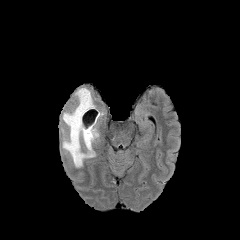
FLAIR MRI.
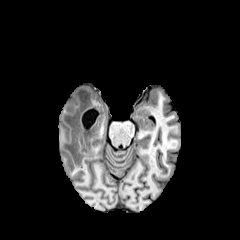
T1-weighted MRI.
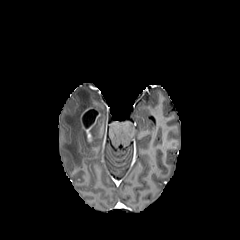
Same slice, post-contrast T1-weighted MRI.
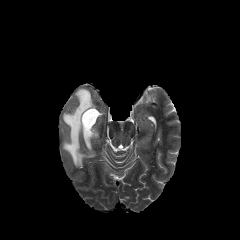
T2-weighted MR image of the same slice.
Axial plane | Brain
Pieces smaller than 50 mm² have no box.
enhancing tumor — rect(80, 107, 99, 141)
peritumoral edema — rect(62, 88, 98, 167)